Axial plane. Head.
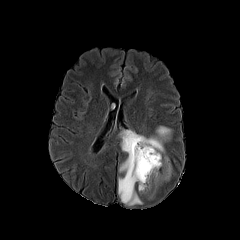
FLAIR MRI.
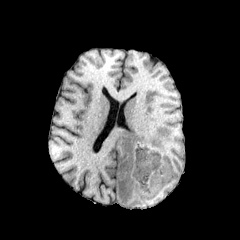
T1-weighted MRI.
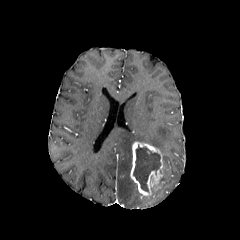
Post-contrast T1-weighted magnetic resonance.
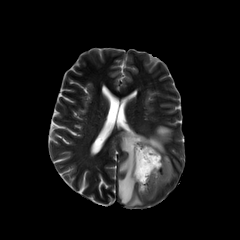
T2-weighted MR.
peritumoral_edema:
  - (162,156,171,180)
  - (118,126,171,205)
enhancing_tumor:
  - (130,141,163,197)
necrotic_tumor_core:
  - (133,146,160,191)